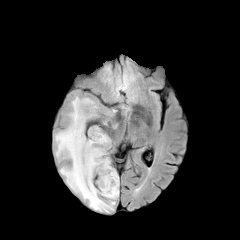
FLAIR magnetic resonance.
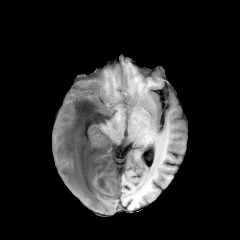
T1-weighted magnetic resonance of the same slice.
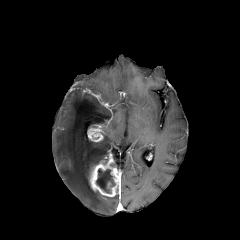
Post-contrast T1-weighted MR image.
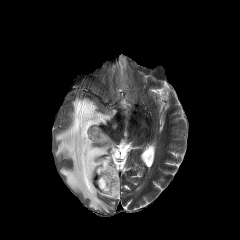
Same slice, T2-weighted MR.
Head, Image size 240x240
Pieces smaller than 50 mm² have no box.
peritumoral edema: bounding box x1=54, y1=94, x2=119, y2=212
enhancing tumor: bounding box x1=88, y1=151, x2=120, y2=196; x1=87, y1=124, x2=104, y2=142
necrotic tumor core: bounding box x1=96, y1=169, x2=114, y2=193